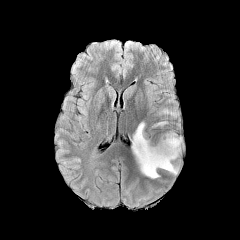
FLAIR MR image.
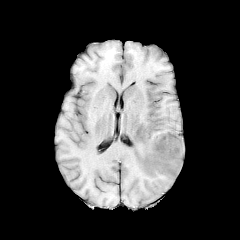
T1-weighted MR.
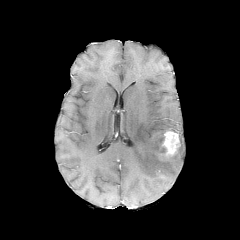
Post-contrast T1-weighted MRI.
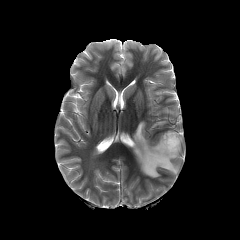
Same slice, T2-weighted MR.
Axial plane
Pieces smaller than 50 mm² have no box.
enhancing tumor: left=158, top=131, right=180, bottom=159 | peritumoral edema: left=162, top=109, right=177, bottom=116; left=132, top=122, right=180, bottom=178